Axial plane
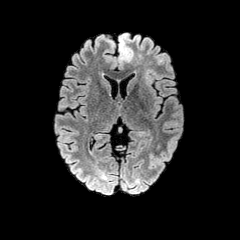
FLAIR MRI.
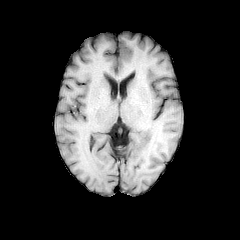
T1-weighted MR image of the same slice.
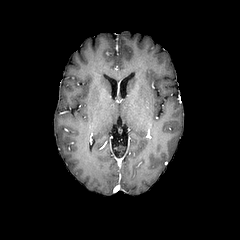
Same slice, post-contrast T1-weighted MRI.
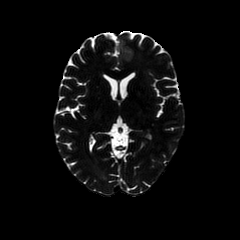
T2-weighted MR image of the same slice.
peritumoral edema — <box>118,33,133,63</box>